Head. Image width 240 mm, 1.00 mm slice spacing.
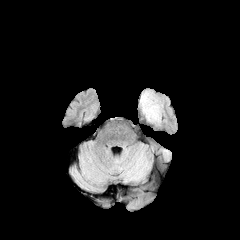
FLAIR MR.
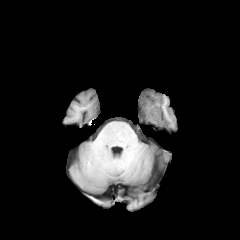
Same slice, T1-weighted magnetic resonance.
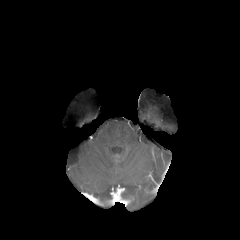
Post-contrast T1-weighted MRI.
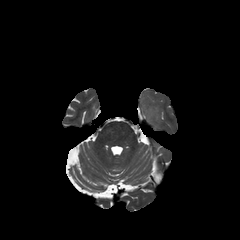
T2-weighted MRI.
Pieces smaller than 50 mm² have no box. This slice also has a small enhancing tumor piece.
The peritumoral edema is located at left=140, top=91, right=163, bottom=125.